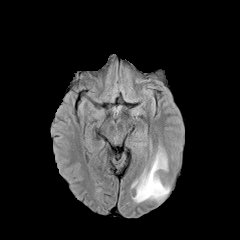
FLAIR magnetic resonance.
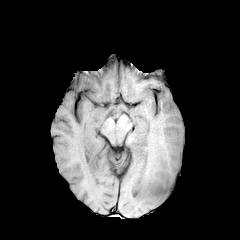
T1-weighted MR of the same slice.
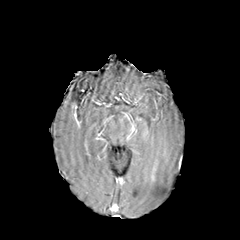
Post-contrast T1-weighted MRI.
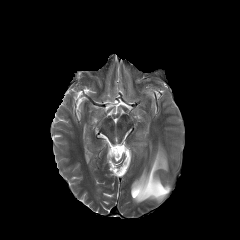
T2-weighted MR image.
Brain
<segmentation>
  <peritumoral_edema>132,148,169,202</peritumoral_edema>
</segmentation>